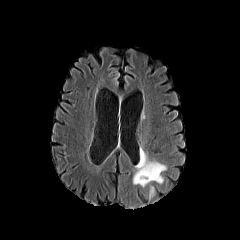
FLAIR MRI.
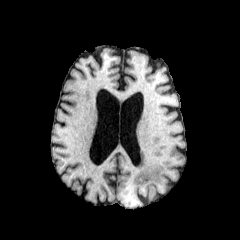
T1-weighted MR image.
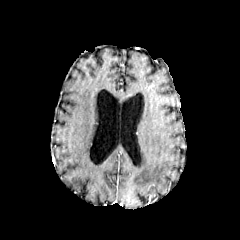
Same slice, post-contrast T1-weighted MRI.
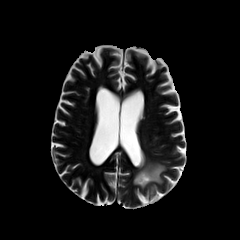
Same slice, T2-weighted MR.
Axial plane. Head.
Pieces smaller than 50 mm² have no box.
Segmented structures:
• peritumoral edema: [133, 148, 166, 187]